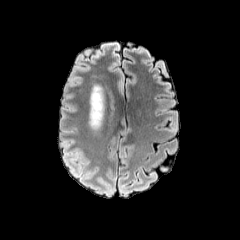
FLAIR MR image.
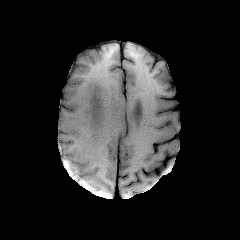
T1-weighted MR.
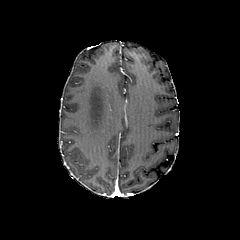
Same slice, post-contrast T1-weighted MRI.
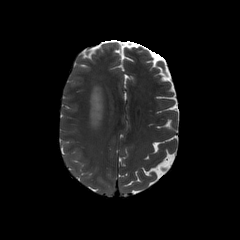
T2-weighted MRI.
Axial plane
<segmentation>
  <peritumoral_edema>box(90, 84, 104, 129)</peritumoral_edema>
</segmentation>